FLAIR MR.
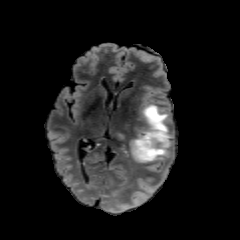
T1-weighted MR.
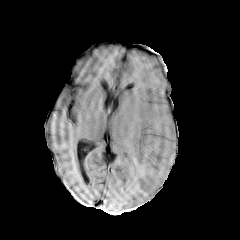
Post-contrast T1-weighted MRI.
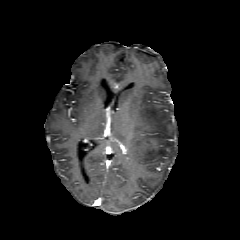
T2-weighted MRI.
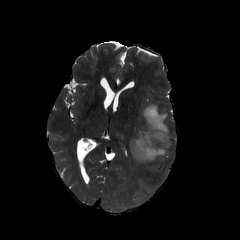
240x240 px | Axial plane
The enhancing tumor is at [x1=136, y1=138, x2=155, y2=153]. The peritumoral edema appears at [x1=131, y1=104, x2=170, y2=161].